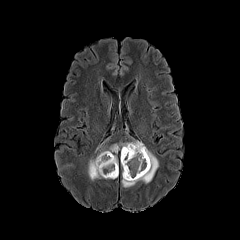
FLAIR MR image.
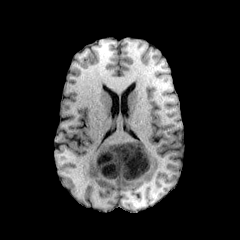
T1-weighted MR of the same slice.
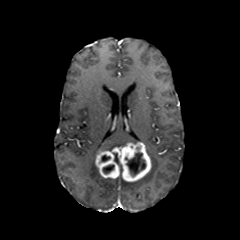
Same slice, post-contrast T1-weighted magnetic resonance.
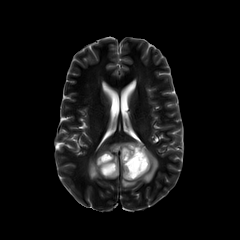
T2-weighted MR.
Axial slice | 240x240
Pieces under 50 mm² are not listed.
<segmentation>
  <enhancing_tumor>rect(95, 142, 151, 181)</enhancing_tumor>
  <necrotic_tumor_core>rect(101, 155, 110, 161); rect(125, 152, 146, 176); rect(103, 165, 114, 173)</necrotic_tumor_core>
  <peritumoral_edema>rect(121, 147, 158, 187); rect(109, 142, 129, 150); rect(88, 157, 104, 180)</peritumoral_edema>
</segmentation>